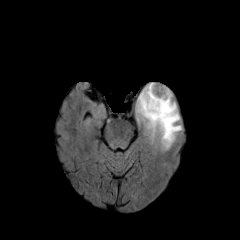
FLAIR magnetic resonance.
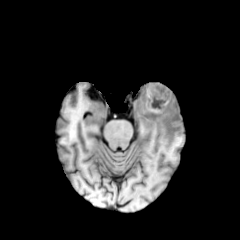
T1-weighted magnetic resonance.
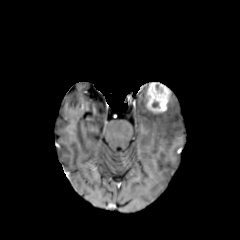
Post-contrast T1-weighted MR image of the same slice.
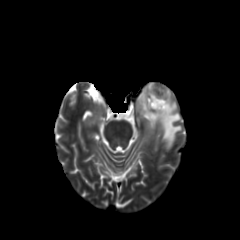
T2-weighted MR image.
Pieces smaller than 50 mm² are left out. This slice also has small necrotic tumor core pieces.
peritumoral edema: bounding box x1=135, y1=83, x2=181, y2=150
enhancing tumor: bounding box x1=146, y1=82, x2=170, y2=113